Head, Axial view
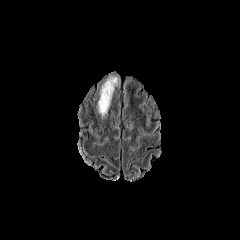
FLAIR MR image.
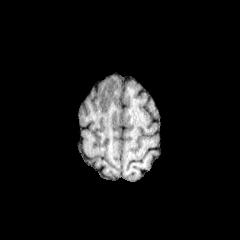
T1-weighted magnetic resonance of the same slice.
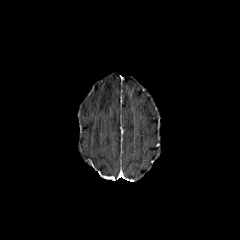
Post-contrast T1-weighted magnetic resonance.
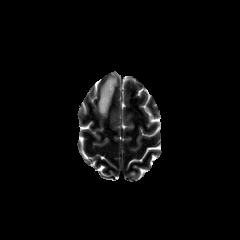
Same slice, T2-weighted MRI.
peritumoral_edema:
  - bbox(98, 77, 116, 115)